Axial plane, 240x240, Image covers 240 mm x 240 mm, Brain
FLAIR MRI.
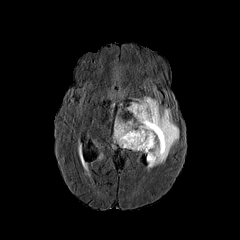
T1-weighted MRI.
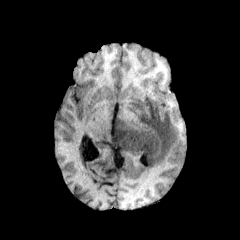
Post-contrast T1-weighted MR.
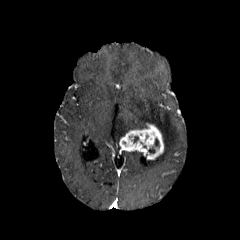
T2-weighted MRI.
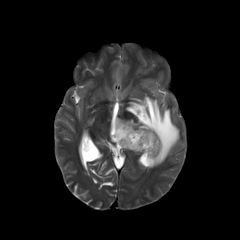
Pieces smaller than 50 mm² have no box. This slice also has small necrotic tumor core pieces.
enhancing tumor: (left=119, top=123, right=164, bottom=160)
peritumoral edema: (left=113, top=97, right=179, bottom=169)